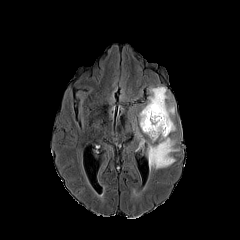
FLAIR MR.
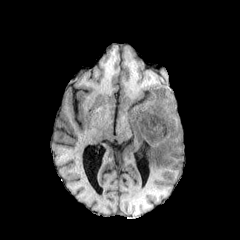
T1-weighted MR image.
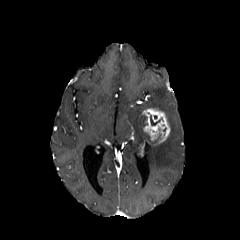
Post-contrast T1-weighted magnetic resonance of the same slice.
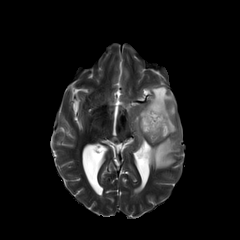
T2-weighted MR.
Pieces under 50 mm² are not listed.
peritumoral edema: 135 86 179 169
enhancing tumor: 140 108 170 144
necrotic tumor core: 150 115 162 125